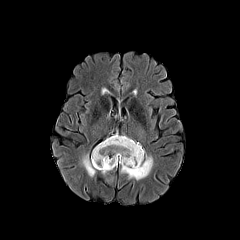
FLAIR MR image.
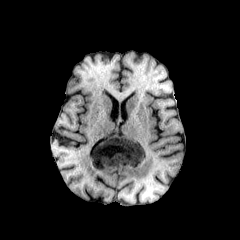
T1-weighted magnetic resonance.
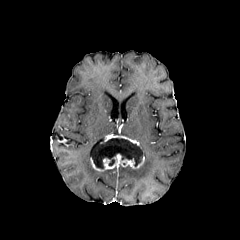
Post-contrast T1-weighted MR image of the same slice.
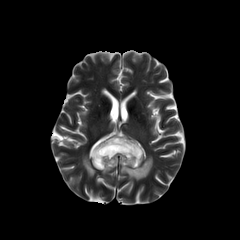
T2-weighted MRI.
Axial slice
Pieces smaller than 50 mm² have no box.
necrotic tumor core: (92,138,142,168) | enhancing tumor: (103,135,141,148), (90,152,144,171) | peritumoral edema: (82,154,96,176), (120,156,153,180)